Axial view.
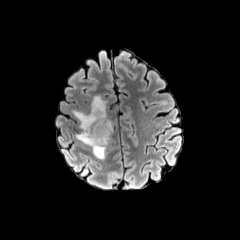
FLAIR magnetic resonance.
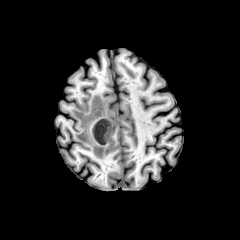
T1-weighted magnetic resonance of the same slice.
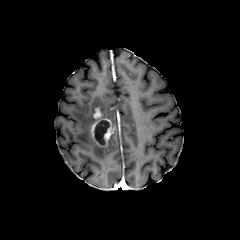
Same slice, post-contrast T1-weighted magnetic resonance.
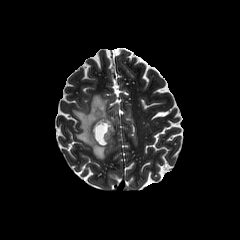
T2-weighted MR.
Annotated regions:
- necrotic tumor core: [94,120,109,144]
- enhancing tumor: [90,107,114,146]
- peritumoral edema: [72,95,110,159]